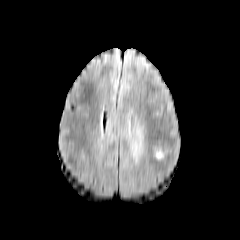
FLAIR MRI.
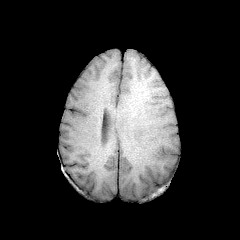
Same slice, T1-weighted MR.
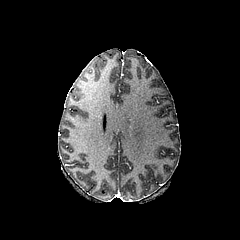
Post-contrast T1-weighted MRI.
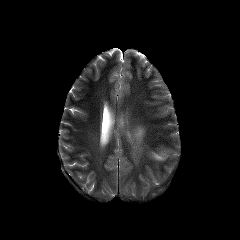
T2-weighted MR image.
2 peritumoral edema regions appear at 155,151,163,158; 134,129,141,150.